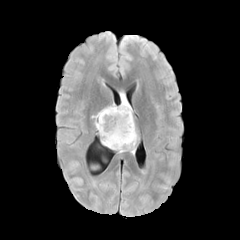
FLAIR MR.
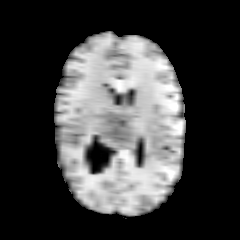
T1-weighted MR image.
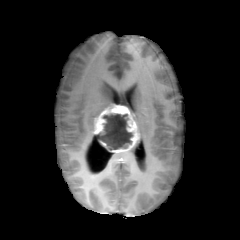
Post-contrast T1-weighted magnetic resonance of the same slice.
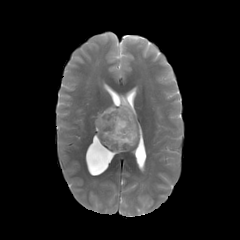
T2-weighted magnetic resonance of the same slice.
240x240
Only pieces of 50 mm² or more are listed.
<segmentation>
  <necrotic_tumor_core>box=[99, 114, 132, 149]</necrotic_tumor_core>
  <enhancing_tumor>box=[94, 103, 139, 152]</enhancing_tumor>
  <peritumoral_edema>box=[120, 93, 133, 113]</peritumoral_edema>
</segmentation>